FLAIR MR image.
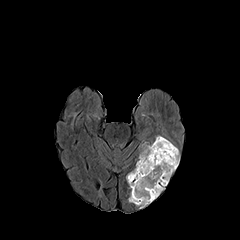
T1-weighted MR.
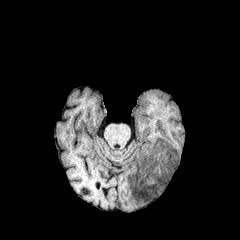
Post-contrast T1-weighted MR image.
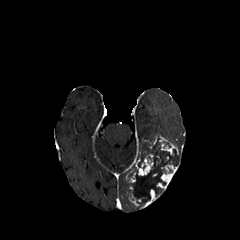
T2-weighted MRI.
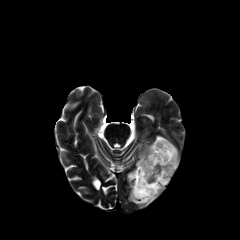
Head
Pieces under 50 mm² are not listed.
Annotated regions:
- necrotic tumor core: rect(131, 137, 178, 207)
- enhancing tumor: rect(126, 153, 153, 206); rect(159, 136, 178, 155); rect(157, 164, 178, 190); rect(140, 189, 160, 208)
- peritumoral edema: rect(139, 142, 151, 156)